Slice 113 of 155 | Brain | Image width 240 mm, 1.00 mm slice spacing
FLAIR MRI.
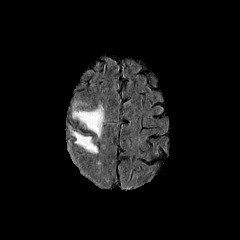
T1-weighted MR.
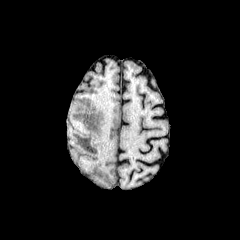
Post-contrast T1-weighted magnetic resonance.
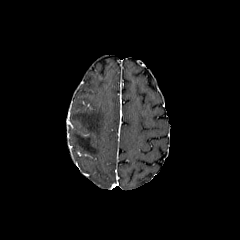
T2-weighted magnetic resonance.
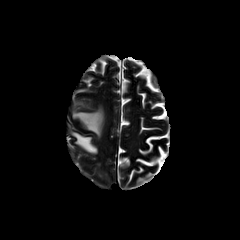
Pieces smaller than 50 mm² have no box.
peritumoral edema at (left=72, top=105, right=104, bottom=138), (left=71, top=131, right=98, bottom=153)